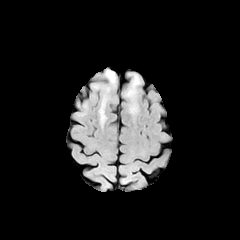
FLAIR magnetic resonance.
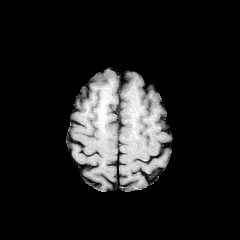
T1-weighted MRI.
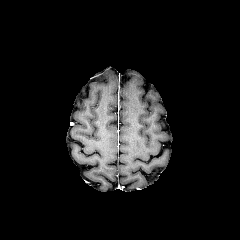
Post-contrast T1-weighted MRI.
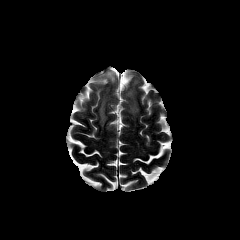
T2-weighted MRI.
Axial plane | 240x240
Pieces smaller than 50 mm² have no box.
<segmentation>
  <peritumoral_edema>[x1=124, y1=74, x2=140, y2=114], [x1=103, y1=69, x2=116, y2=86], [x1=99, y1=96, x2=106, y2=125]</peritumoral_edema>
</segmentation>